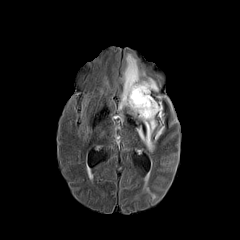
FLAIR MRI.
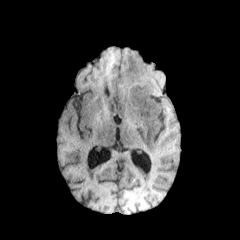
T1-weighted magnetic resonance.
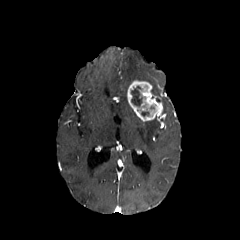
Post-contrast T1-weighted MR image.
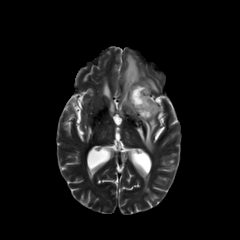
T2-weighted MR image of the same slice.
Image size 240x240; Brain
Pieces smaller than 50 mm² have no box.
enhancing tumor — [127,80,162,121]
peritumoral edema — [118,53,158,117], [136,119,157,152]
necrotic tumor core — [131,86,142,106]